Image width 240 mm, 1.00 mm slice spacing. Head.
FLAIR MR.
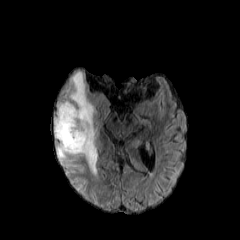
T1-weighted MRI.
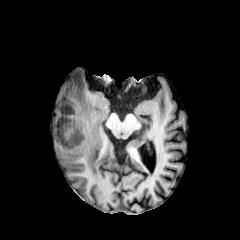
Post-contrast T1-weighted MRI.
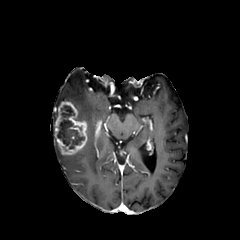
T2-weighted magnetic resonance.
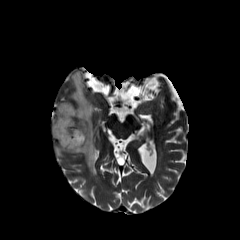
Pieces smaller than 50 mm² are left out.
The 2 largest peritumoral edema regions are bounded by bbox(56, 143, 69, 161); bbox(69, 71, 97, 175). The 2 largest necrotic tumor core regions are bounded by bbox(57, 119, 84, 148); bbox(61, 105, 74, 117). The largest enhancing tumor region is bounded by bbox(54, 101, 87, 155).